FLAIR magnetic resonance.
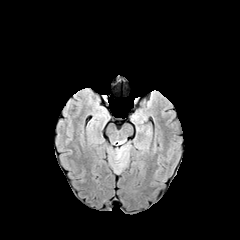
T1-weighted MR image.
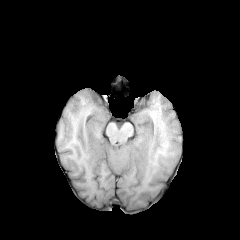
Post-contrast T1-weighted MRI.
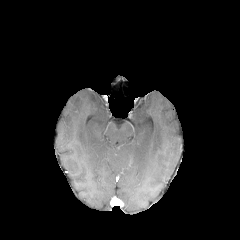
T2-weighted MR image.
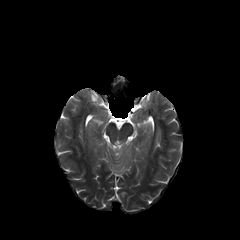
Head
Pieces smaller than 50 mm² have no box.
<segmentation>
  <peritumoral_edema>l=115, t=145, r=129, b=170</peritumoral_edema>
</segmentation>